FLAIR MRI.
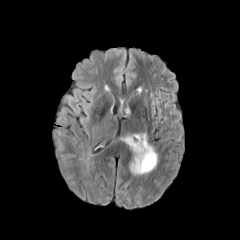
T1-weighted MR.
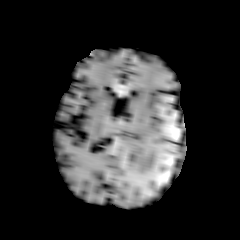
Post-contrast T1-weighted magnetic resonance.
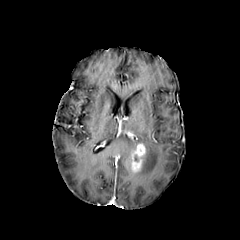
T2-weighted magnetic resonance.
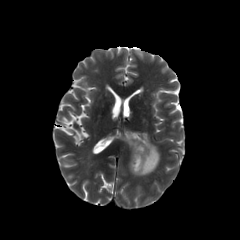
Axial plane; 240x240
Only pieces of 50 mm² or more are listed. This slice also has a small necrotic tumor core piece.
Segmented structures:
* peritumoral edema: x1=121 y1=133 x2=159 y2=175
* enhancing tumor: x1=130 y1=143 x2=146 y2=173